Head
FLAIR MRI.
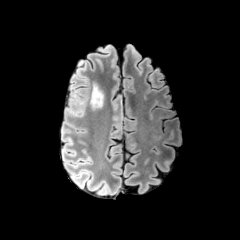
T1-weighted magnetic resonance.
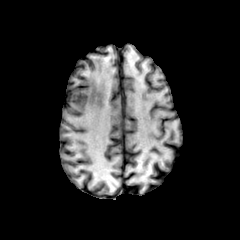
Post-contrast T1-weighted MRI.
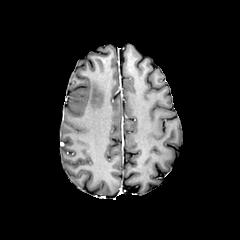
T2-weighted MRI.
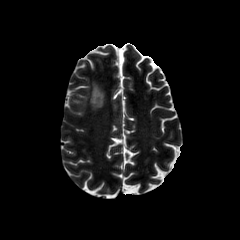
peritumoral_edema:
  - <box>90,82,104,109</box>